FLAIR MR.
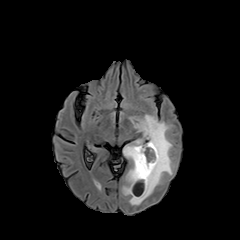
T1-weighted magnetic resonance.
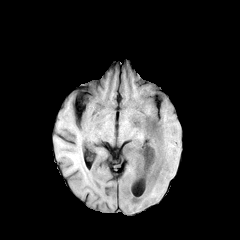
Post-contrast T1-weighted MRI.
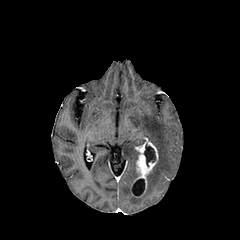
T2-weighted MRI.
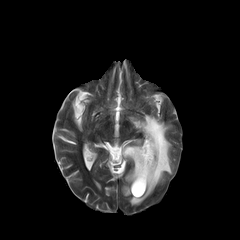
{
  "necrotic_tumor_core": [
    "132:179:144:196",
    "144:146:155:166"
  ],
  "enhancing_tumor": [
    "133:141:158:196"
  ],
  "peritumoral_edema": [
    "122:114:173:205"
  ]
}